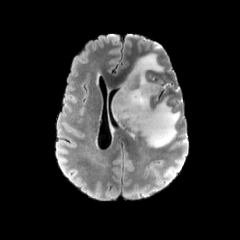
FLAIR magnetic resonance.
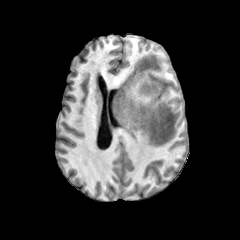
T1-weighted MR image.
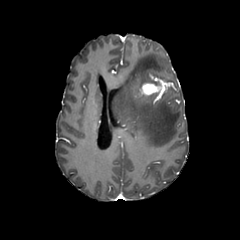
Same slice, post-contrast T1-weighted magnetic resonance.
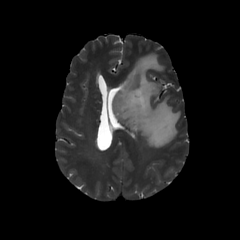
Same slice, T2-weighted MR.
Axial plane.
peritumoral edema at left=112, top=53, right=180, bottom=147
enhancing tumor at left=140, top=81, right=162, bottom=95